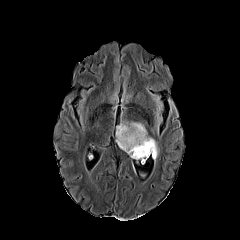
FLAIR magnetic resonance.
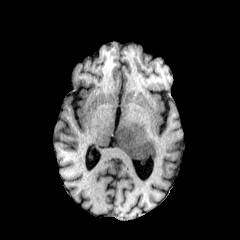
T1-weighted MR image.
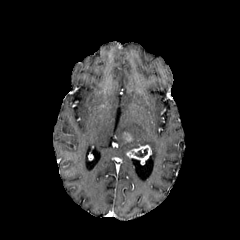
Post-contrast T1-weighted MR image.
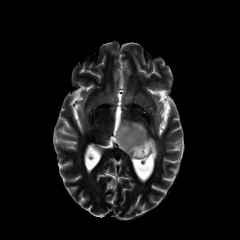
Same slice, T2-weighted MR image.
Axial view; Brain; Image size 240x240
• peritumoral edema: <box>116,121,158,159</box>
• necrotic tumor core: <box>135,148,147,157</box>
• enhancing tumor: <box>123,132,132,142</box>, <box>127,144,151,160</box>